Slice 74 of 155; Image size 240x240; Head
FLAIR magnetic resonance.
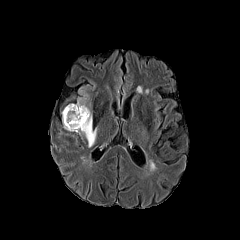
T1-weighted MR image.
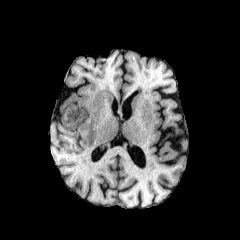
Post-contrast T1-weighted MR.
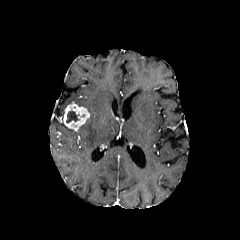
T2-weighted MR.
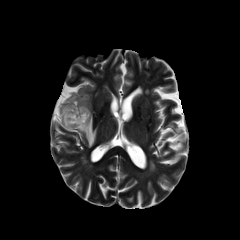
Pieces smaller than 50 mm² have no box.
necrotic_tumor_core:
  - x1=66, y1=111, x2=79, y2=123
peritumoral_edema:
  - x1=76, y1=85, x2=96, y2=147
enhancing_tumor:
  - x1=63, y1=103, x2=89, y2=131